Slice 113 of 155
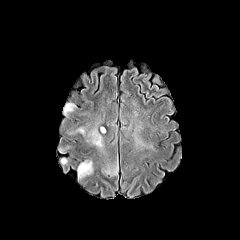
FLAIR MRI.
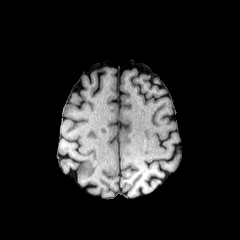
T1-weighted MR image of the same slice.
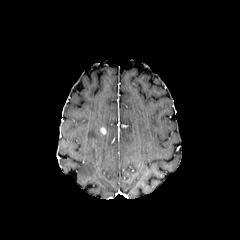
Same slice, post-contrast T1-weighted magnetic resonance.
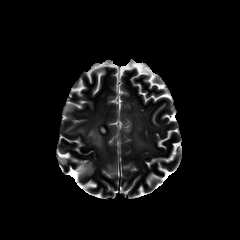
Same slice, T2-weighted magnetic resonance.
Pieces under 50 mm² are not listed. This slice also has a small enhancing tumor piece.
peritumoral edema: 64:104:73:113, 78:161:92:177, 90:129:102:147